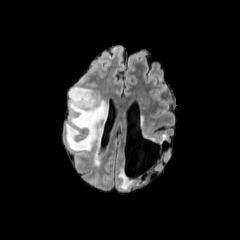
FLAIR MR.
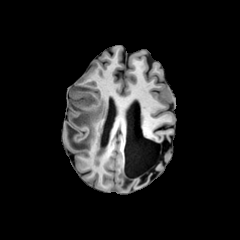
Same slice, T1-weighted MRI.
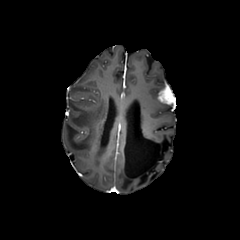
Same slice, post-contrast T1-weighted MR.
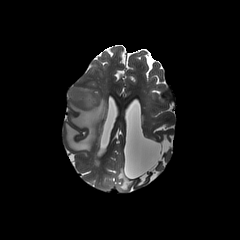
T2-weighted MR image.
Brain, Axial view
Annotated regions:
* peritumoral edema: bbox(65, 86, 107, 151)